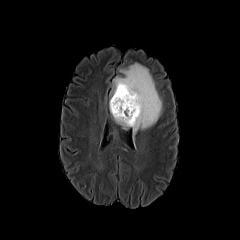
FLAIR MR.
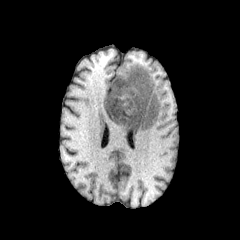
T1-weighted MR.
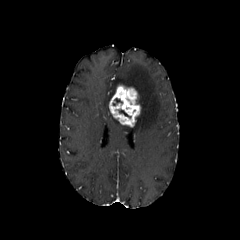
Post-contrast T1-weighted MR image.
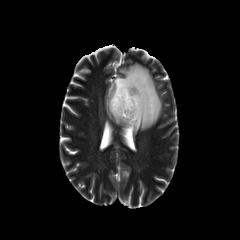
T2-weighted MR image.
Head | Axial slice
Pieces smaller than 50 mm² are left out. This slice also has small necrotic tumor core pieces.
enhancing tumor: (left=109, top=84, right=140, bottom=127)
peritumoral edema: (left=110, top=63, right=162, bottom=133)